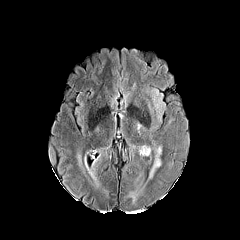
FLAIR MR image.
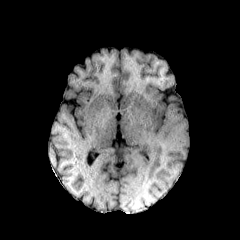
T1-weighted MR image.
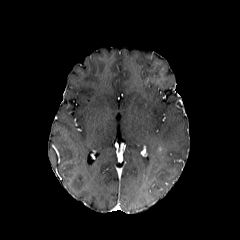
Post-contrast T1-weighted magnetic resonance.
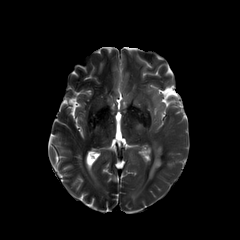
T2-weighted MR of the same slice.
Axial view.
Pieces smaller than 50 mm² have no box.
{
  "peritumoral_edema": [
    "149:143:162:178"
  ]
}